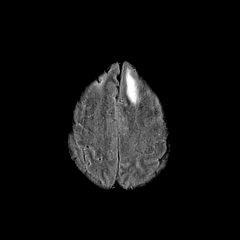
FLAIR magnetic resonance.
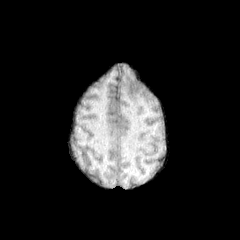
T1-weighted magnetic resonance of the same slice.
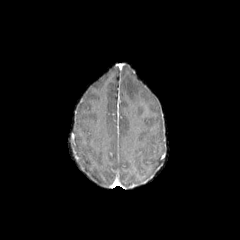
Same slice, post-contrast T1-weighted MRI.
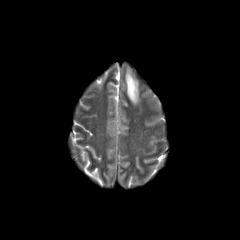
Same slice, T2-weighted MRI.
Head.
peritumoral edema = box(126, 66, 138, 103)